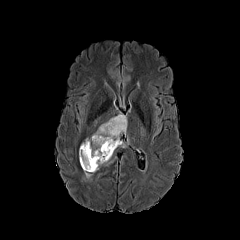
FLAIR MR image.
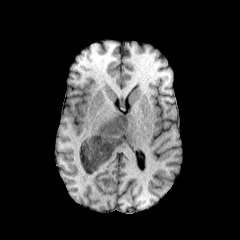
T1-weighted MRI.
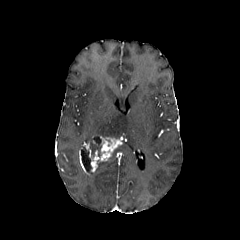
Post-contrast T1-weighted MR image.
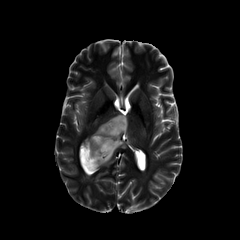
T2-weighted MR.
Brain, Axial slice
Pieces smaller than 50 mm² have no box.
Segmented structures:
* enhancing tumor: [79,136,122,174]
* necrotic tumor core: [90,135,101,156], [81,147,91,172]
* peritumoral edema: [96,157,111,170], [92,114,127,138]